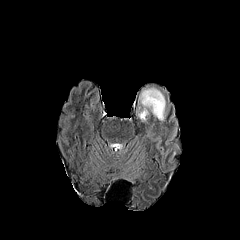
FLAIR MRI.
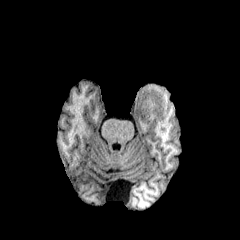
Same slice, T1-weighted MRI.
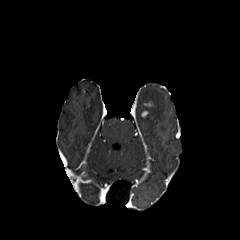
Post-contrast T1-weighted MR image of the same slice.
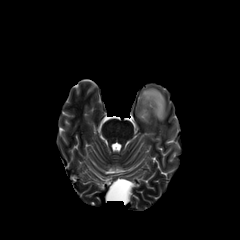
Same slice, T2-weighted magnetic resonance.
240x240 px, Head
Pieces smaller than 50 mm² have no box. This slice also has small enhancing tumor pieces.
peritumoral edema: {"x1": 137, "y1": 86, "x2": 168, "y2": 122}